Slice index 87.
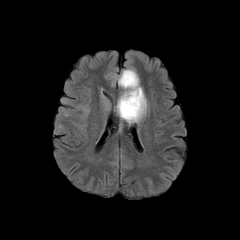
FLAIR MRI.
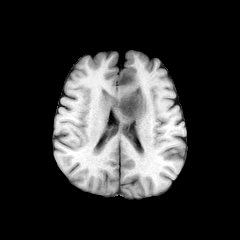
T1-weighted MRI of the same slice.
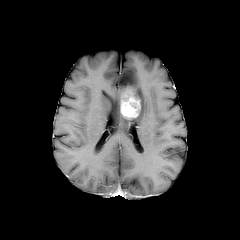
Post-contrast T1-weighted MRI.
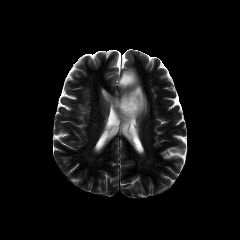
T2-weighted MRI of the same slice.
The enhancing tumor is bounded by [120, 89, 140, 119]. The peritumoral edema is located at [116, 69, 147, 122].